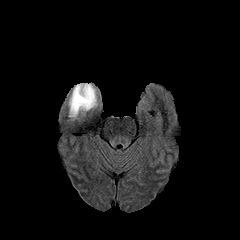
FLAIR magnetic resonance.
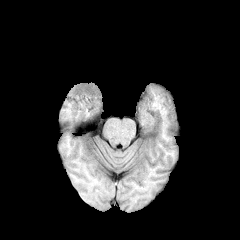
T1-weighted magnetic resonance.
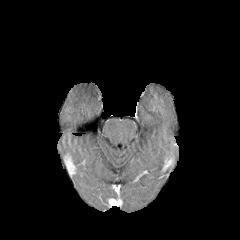
Post-contrast T1-weighted MR.
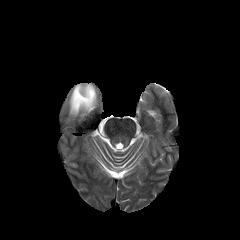
T2-weighted MR image of the same slice.
Brain.
Segmented structures:
* peritumoral edema: (69,83,97,117)